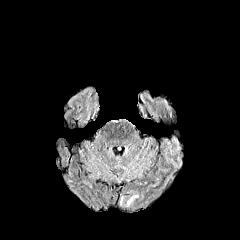
FLAIR magnetic resonance.
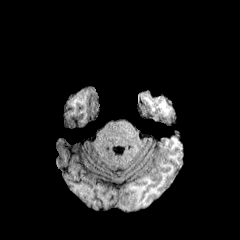
T1-weighted MR image.
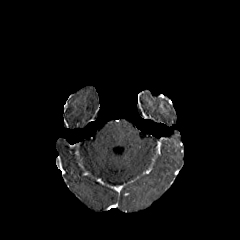
Post-contrast T1-weighted MR.
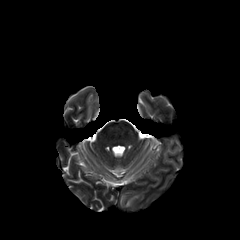
T2-weighted MR image.
240x240 px, Axial plane
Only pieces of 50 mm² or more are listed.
The largest peritumoral edema region is bounded by x1=126, y1=195, x2=138, y2=206.